Image size 240x240; Head; Axial view; Slice 79/155
FLAIR MR image.
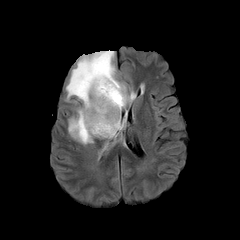
T1-weighted MR.
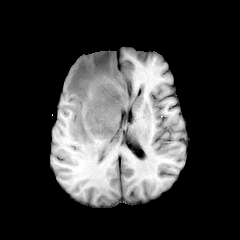
Post-contrast T1-weighted MR image.
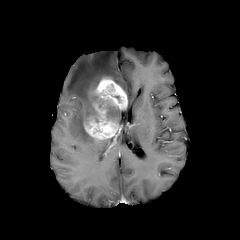
T2-weighted MR.
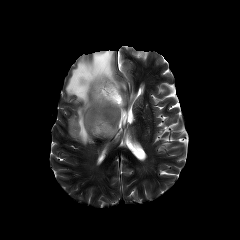
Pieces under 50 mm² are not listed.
peritumoral edema: bounding box [66, 50, 126, 144]
necrotic tumor core: bounding box [99, 100, 119, 121], [103, 85, 120, 101]
enhancing tumor: bounding box [84, 75, 127, 139]